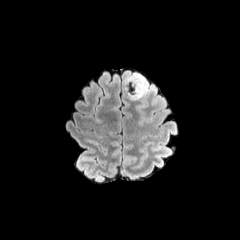
FLAIR MR image.
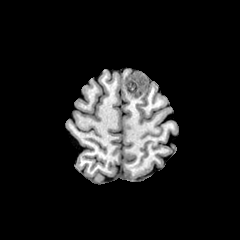
Same slice, T1-weighted MRI.
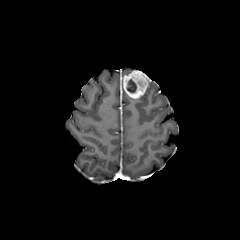
Same slice, post-contrast T1-weighted MR.
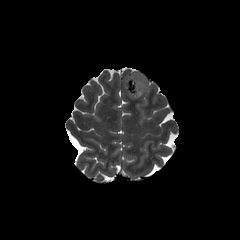
T2-weighted MRI.
Brain
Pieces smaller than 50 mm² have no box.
peritumoral edema at region(143, 85, 154, 95)
necrotic tumor core at region(127, 79, 136, 92)
enhancing tumor at region(123, 72, 148, 98)